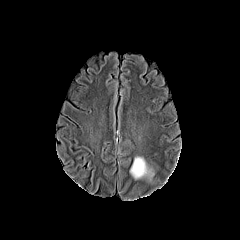
FLAIR MR.
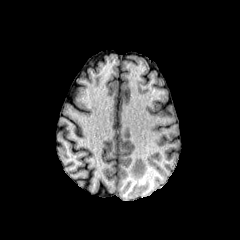
Same slice, T1-weighted MR.
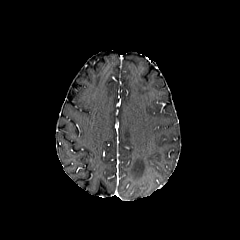
Same slice, post-contrast T1-weighted MR.
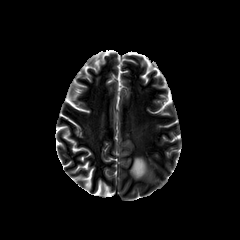
T2-weighted MR.
peritumoral edema: bounding box (130, 157, 153, 179)